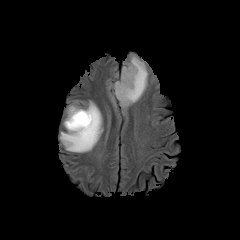
FLAIR magnetic resonance.
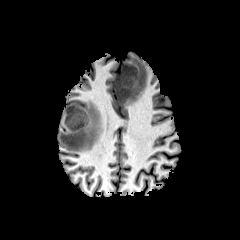
T1-weighted MRI of the same slice.
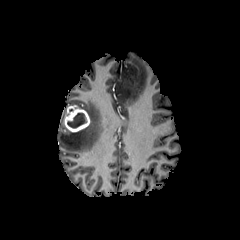
Post-contrast T1-weighted magnetic resonance.
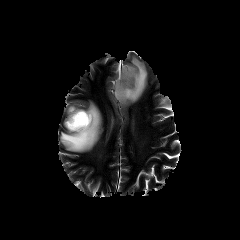
Same slice, T2-weighted magnetic resonance.
Axial plane | Head
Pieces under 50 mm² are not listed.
<segmentation>
  <necrotic_tumor_core>[67, 113, 86, 128]</necrotic_tumor_core>
  <peritumoral_edema>[59, 100, 103, 152], [108, 55, 148, 108]</peritumoral_edema>
  <enhancing_tumor>[64, 105, 90, 132]</enhancing_tumor>
</segmentation>